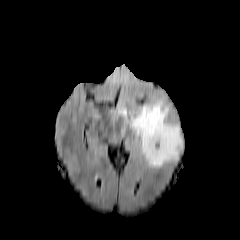
FLAIR MR image.
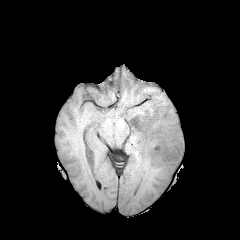
T1-weighted MR.
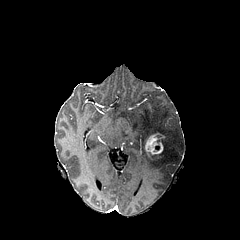
Post-contrast T1-weighted MR image of the same slice.
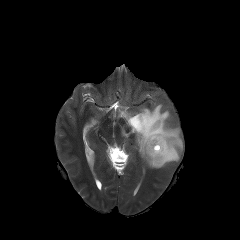
T2-weighted MRI.
Axial plane, Head
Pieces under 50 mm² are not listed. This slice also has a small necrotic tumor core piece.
The largest peritumoral edema region is located at [119,100,183,168]. The enhancing tumor is at [145,133,164,155].